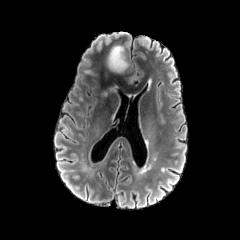
FLAIR MR.
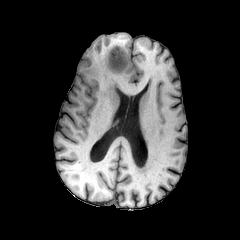
T1-weighted MR.
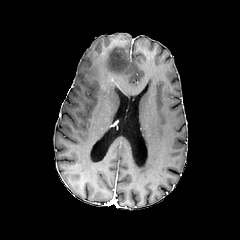
Post-contrast T1-weighted MR of the same slice.
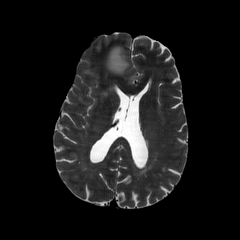
Same slice, T2-weighted MR image.
Axial plane, Brain
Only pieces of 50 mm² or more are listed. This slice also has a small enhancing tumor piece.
Annotated regions:
• peritumoral edema: [107, 46, 128, 73]